Axial slice | Image covers 240 mm x 240 mm
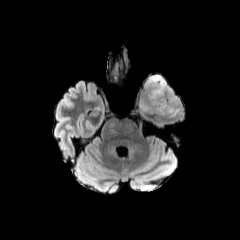
FLAIR MR image.
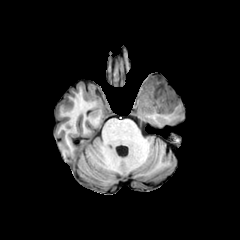
T1-weighted magnetic resonance.
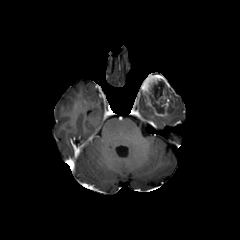
Post-contrast T1-weighted MRI.
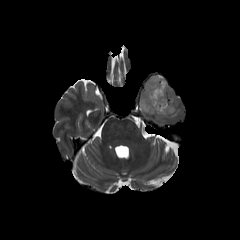
T2-weighted magnetic resonance of the same slice.
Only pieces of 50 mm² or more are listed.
enhancing_tumor:
  - <box>142,74,174,116</box>
peritumoral_edema:
  - <box>139,91,152,112</box>
  - <box>168,94,179,116</box>
necrotic_tumor_core:
  - <box>149,80,168,113</box>